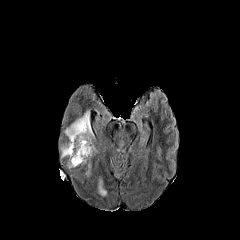
FLAIR MR image.
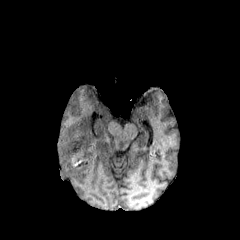
T1-weighted MR image.
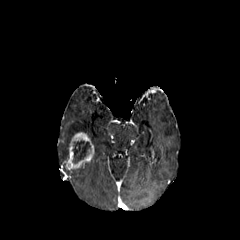
Post-contrast T1-weighted MR image.
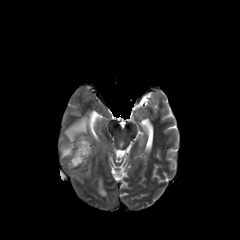
T2-weighted MRI of the same slice.
Axial view. Brain.
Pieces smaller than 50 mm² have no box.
Segmented structures:
* necrotic tumor core: [73,140,90,163]
* peritumoral edema: [98,179,106,196], [60,111,93,158]
* enhancing tumor: [65,132,94,170]